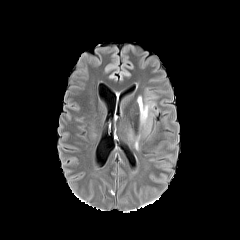
FLAIR MR image.
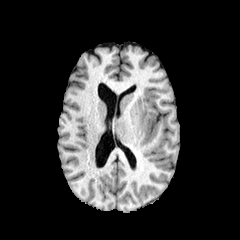
T1-weighted magnetic resonance.
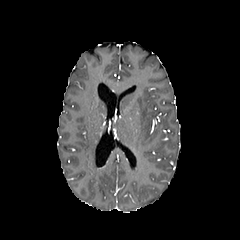
Post-contrast T1-weighted magnetic resonance.
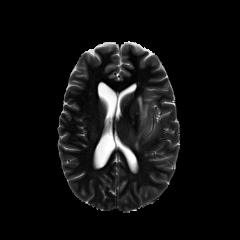
T2-weighted MR.
Brain
peritumoral edema = (left=127, top=89, right=157, bottom=150)